Image size 240x240; Axial slice; Slice 93 of 155
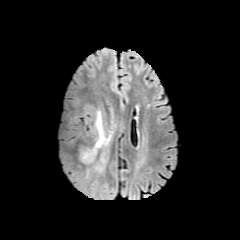
FLAIR MRI.
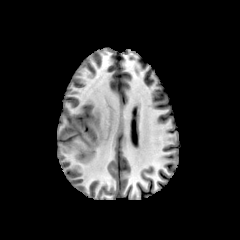
Same slice, T1-weighted magnetic resonance.
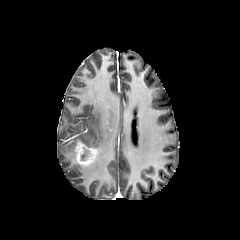
Post-contrast T1-weighted magnetic resonance of the same slice.
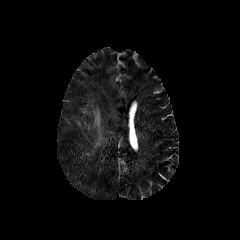
T2-weighted MRI.
The peritumoral edema lies within bbox(91, 109, 114, 173). The enhancing tumor lies within bbox(76, 143, 96, 164). The necrotic tumor core lies within bbox(81, 150, 88, 160).